FLAIR magnetic resonance.
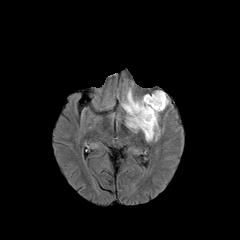
T1-weighted magnetic resonance.
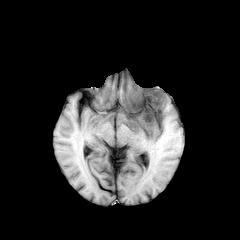
Post-contrast T1-weighted MRI.
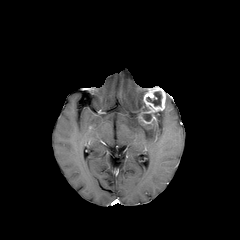
T2-weighted MR image.
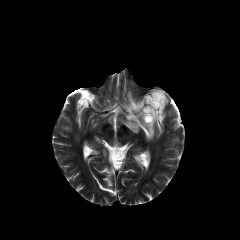
Head
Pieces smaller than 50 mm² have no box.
{
  "peritumoral_edema": [
    "l=122, t=89, r=158, b=141"
  ],
  "enhancing_tumor": [
    "l=137, t=88, r=165, b=125"
  ],
  "necrotic_tumor_core": [
    "l=147, t=92, r=161, b=105"
  ]
}